Head
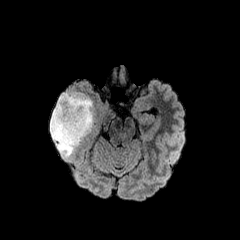
FLAIR magnetic resonance.
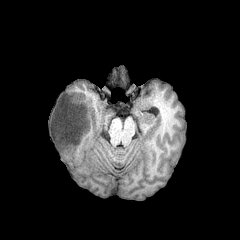
T1-weighted MR image.
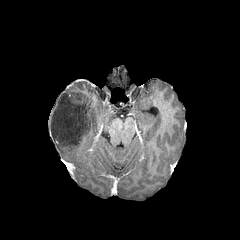
Post-contrast T1-weighted MR image.
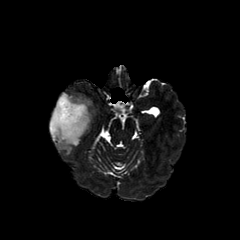
T2-weighted MR.
Annotated regions:
• peritumoral edema: region(50, 93, 94, 157)